FLAIR magnetic resonance.
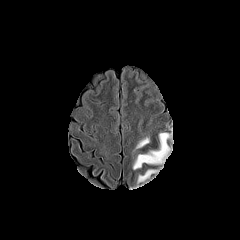
T1-weighted MR.
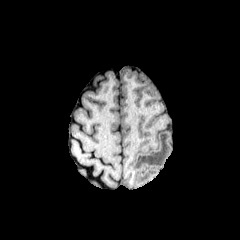
Post-contrast T1-weighted MRI.
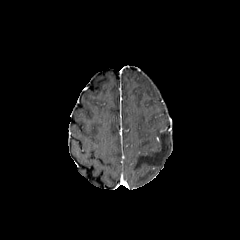
T2-weighted MR image.
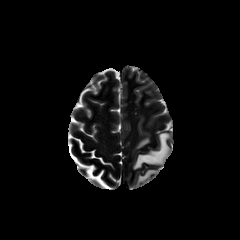
Head. Axial view.
{"peritumoral_edema": ["133,133,170,169", "136,138,149,148", "137,169,158,183"]}